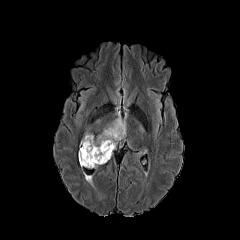
FLAIR MRI.
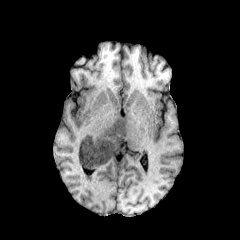
T1-weighted MRI.
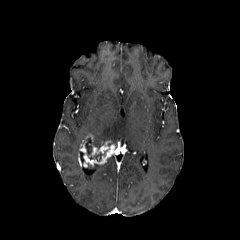
Same slice, post-contrast T1-weighted MR image.
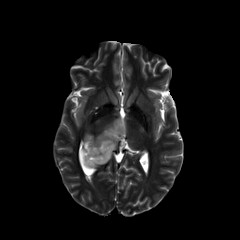
Same slice, T2-weighted MRI.
Axial plane.
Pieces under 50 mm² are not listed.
The largest peritumoral edema region is at 95 114 126 144. The 2 largest necrotic tumor core regions are bounded by 85 138 100 154, 90 152 102 160. The largest enhancing tumor region is located at 78 134 115 167.